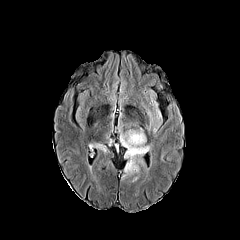
FLAIR magnetic resonance.
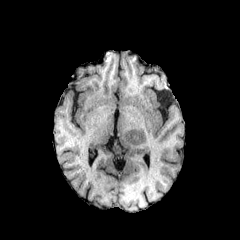
T1-weighted magnetic resonance.
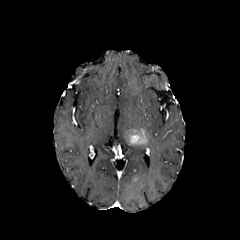
Post-contrast T1-weighted magnetic resonance.
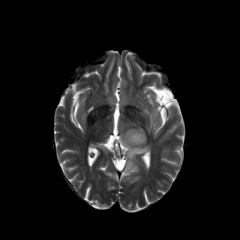
T2-weighted MRI of the same slice.
Head | Axial view | 240x240 px
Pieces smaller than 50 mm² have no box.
peritumoral edema at {"x1": 120, "y1": 131, "x2": 150, "y2": 176}, {"x1": 88, "y1": 142, "x2": 107, "y2": 152}
enhancing tumor at {"x1": 126, "y1": 129, "x2": 146, "y2": 145}